Head
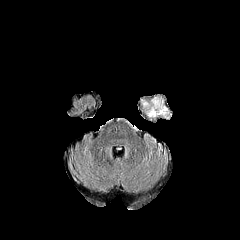
FLAIR MR.
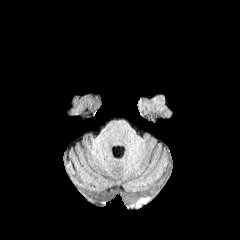
T1-weighted MR.
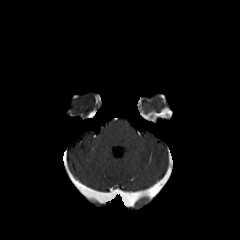
Post-contrast T1-weighted MR of the same slice.
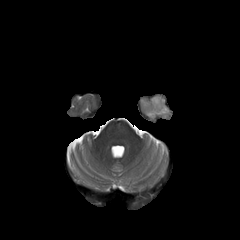
T2-weighted MR.
peritumoral edema: bbox(143, 97, 164, 112) | enhancing tumor: bbox(147, 107, 171, 120)